Axial view | Slice index 85
FLAIR MR.
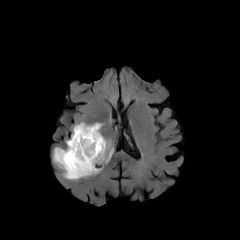
T1-weighted MR.
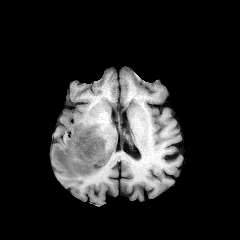
Post-contrast T1-weighted MRI.
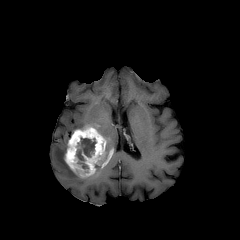
T2-weighted MR image.
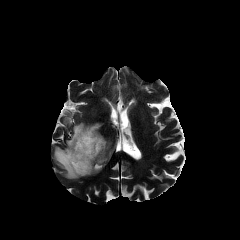
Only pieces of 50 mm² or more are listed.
{"necrotic_tumor_core": ["x1=75, y1=138, x2=95, y2=170"], "enhancing_tumor": ["x1=64, y1=125, x2=107, y2=177"], "peritumoral_edema": ["x1=53, y1=147, x2=80, y2=180", "x1=105, y1=138, x2=112, y2=152", "x1=72, y1=122, x2=102, y2=133"]}